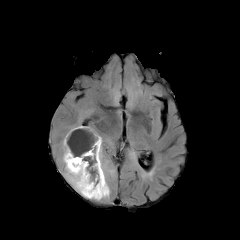
FLAIR MRI.
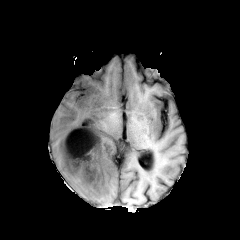
T1-weighted MRI.
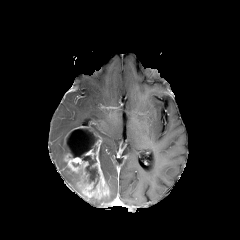
Post-contrast T1-weighted MR of the same slice.
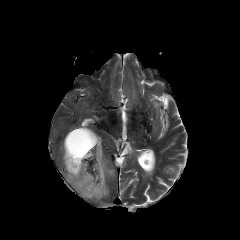
T2-weighted MR.
Head
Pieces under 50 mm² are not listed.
Annotated regions:
- necrotic tumor core: <bbox>66, 128, 99, 188</bbox>
- enhancing tumor: <bbox>64, 126, 109, 199</bbox>
- peritumoral edema: <bbox>99, 144, 114, 184</bbox>, <bbox>68, 118, 81, 132</bbox>, <bbox>61, 139, 80, 193</bbox>